FLAIR MR.
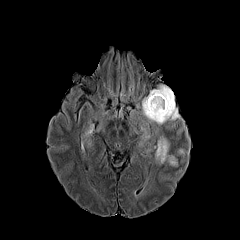
T1-weighted MRI.
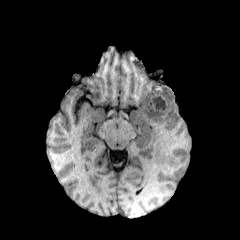
Post-contrast T1-weighted MR image.
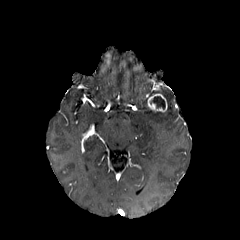
T2-weighted MR.
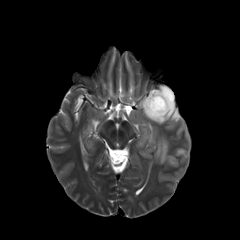
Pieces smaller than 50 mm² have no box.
The enhancing tumor is at region(147, 93, 167, 112). The 2 largest peritumoral edema regions are bounded by region(155, 136, 177, 165); region(142, 85, 180, 124). The necrotic tumor core is bounded by region(150, 96, 165, 109).